Axial view, 240x240 px, Slice index 87
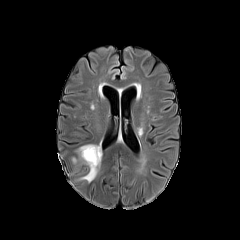
FLAIR MR.
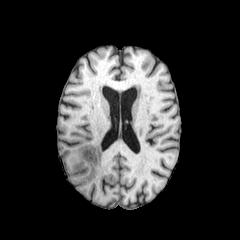
T1-weighted MRI.
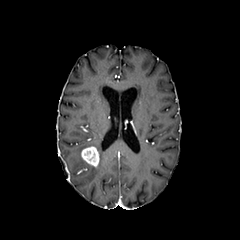
Post-contrast T1-weighted MR image of the same slice.
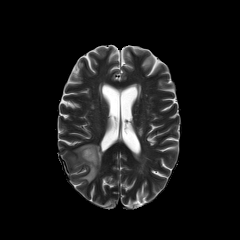
T2-weighted magnetic resonance.
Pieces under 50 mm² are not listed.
enhancing_tumor:
  - <bbox>81, 146, 99, 166</bbox>
peritumoral_edema:
  - <bbox>76, 144, 102, 182</bbox>